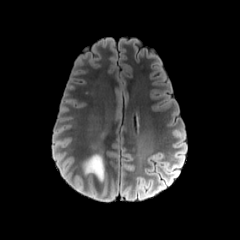
FLAIR magnetic resonance.
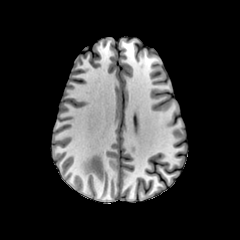
T1-weighted MR image.
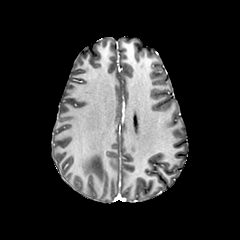
Post-contrast T1-weighted MRI.
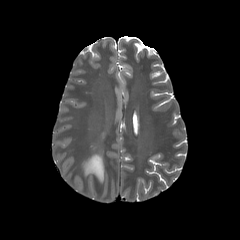
T2-weighted MRI.
240x240 px
* peritumoral edema: <bbox>84, 154, 103, 180</bbox>